Head, Image width 240 mm, 240x240 px, Axial view, Slice index 95
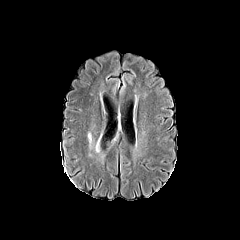
FLAIR MR.
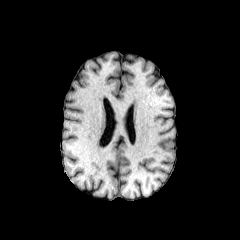
T1-weighted MRI.
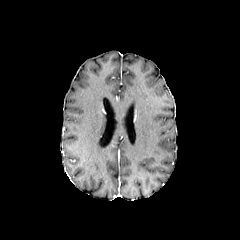
Post-contrast T1-weighted magnetic resonance of the same slice.
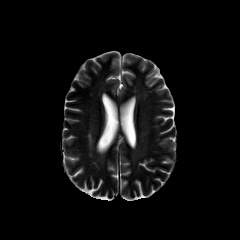
T2-weighted MR.
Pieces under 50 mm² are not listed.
The largest peritumoral edema region is bounded by [x1=95, y1=136, x2=100, y2=152].